Axial view; Image covers 240 mm x 240 mm; Image size 240x240
FLAIR magnetic resonance.
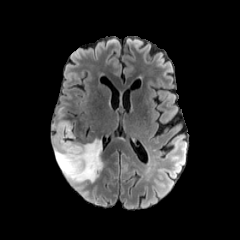
T1-weighted MR image.
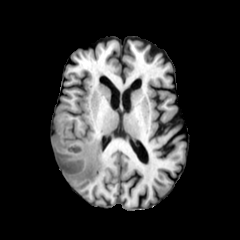
Post-contrast T1-weighted MR image.
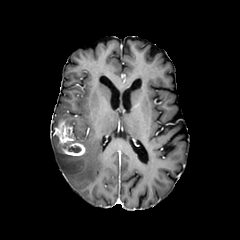
T2-weighted MR image.
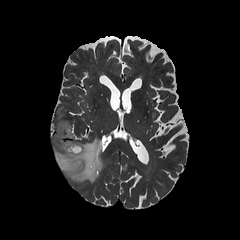
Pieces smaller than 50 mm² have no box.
The largest necrotic tumor core region is at 68 145 81 152. 2 peritumoral edema regions appear at 52 106 78 129, 52 135 103 183. The enhancing tumor appears at 54 121 85 156.